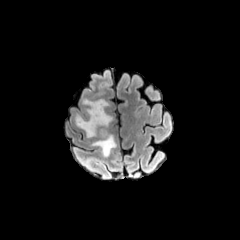
FLAIR magnetic resonance.
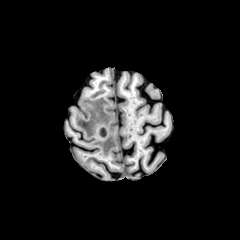
Same slice, T1-weighted MR image.
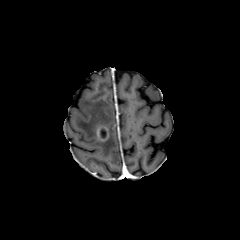
Post-contrast T1-weighted magnetic resonance.
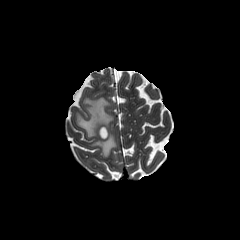
T2-weighted MR image of the same slice.
240x240
The necrotic tumor core is bounded by bbox=[100, 129, 106, 138]. The peritumoral edema is located at bbox=[75, 98, 116, 156]. The enhancing tumor is bounded by bbox=[97, 127, 108, 141].